Slice 63 of 155; Head
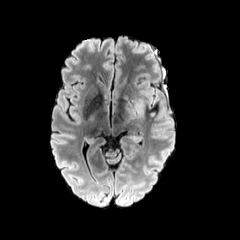
FLAIR magnetic resonance.
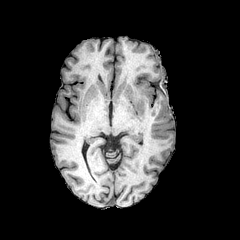
T1-weighted magnetic resonance.
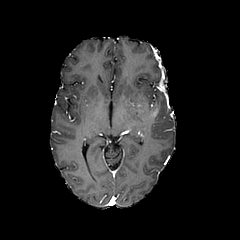
Post-contrast T1-weighted magnetic resonance.
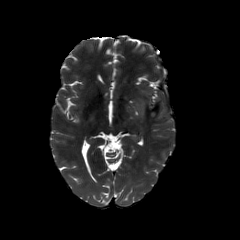
T2-weighted MRI.
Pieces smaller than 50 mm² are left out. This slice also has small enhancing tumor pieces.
peritumoral edema: bounding box (124,96,149,118)